240x240, Axial view
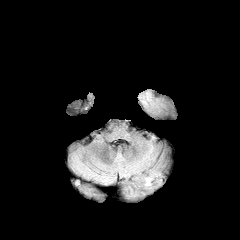
FLAIR MR image.
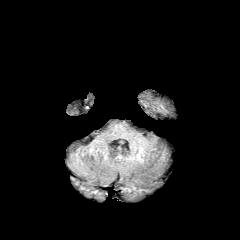
T1-weighted MR of the same slice.
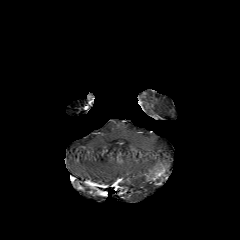
Post-contrast T1-weighted MRI of the same slice.
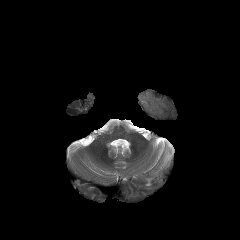
Same slice, T2-weighted MR image.
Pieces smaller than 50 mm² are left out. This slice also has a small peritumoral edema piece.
The enhancing tumor is located at 146, 163, 167, 184.